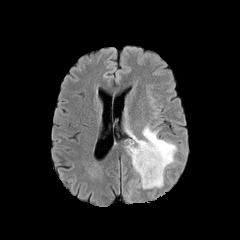
FLAIR MRI.
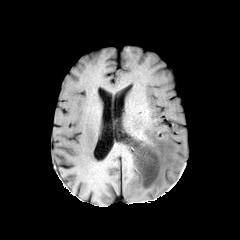
T1-weighted MRI.
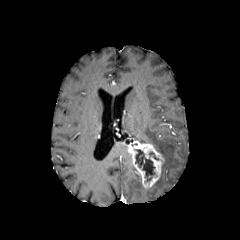
Post-contrast T1-weighted magnetic resonance of the same slice.
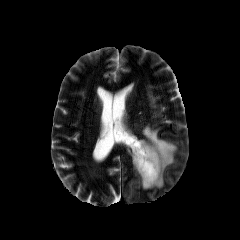
T2-weighted magnetic resonance.
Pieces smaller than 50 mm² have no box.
• necrotic tumor core: rect(135, 149, 155, 181)
• enhancing tumor: rect(127, 139, 164, 188)
• peritumoral edema: rect(127, 125, 176, 188)